Brain. Image width 240 mm, 1.00 mm slice spacing.
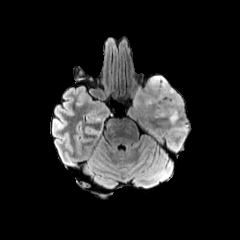
FLAIR magnetic resonance.
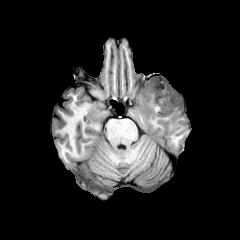
T1-weighted MR image of the same slice.
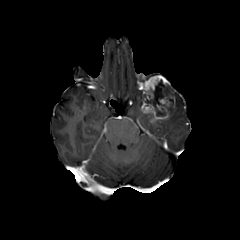
Post-contrast T1-weighted MR.
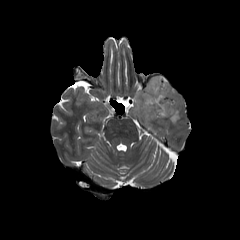
Same slice, T2-weighted MR image.
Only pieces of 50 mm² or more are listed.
peritumoral edema: bbox=[168, 91, 182, 124]; bbox=[134, 90, 141, 108]
necrotic tumor core: bbox=[145, 80, 173, 116]
enhancing tumor: bbox=[139, 75, 175, 119]